FLAIR MR.
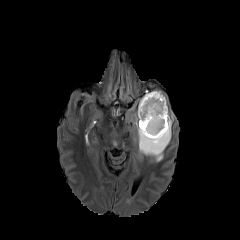
T1-weighted MR.
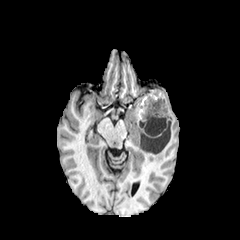
Post-contrast T1-weighted MRI.
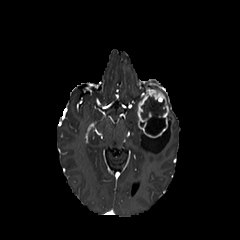
T2-weighted MR.
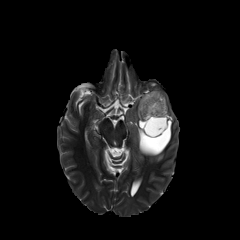
Axial plane | Image size 240x240 | Brain
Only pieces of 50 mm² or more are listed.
{"peritumoral_edema": [{"x1": 125, "y1": 98, "x2": 173, "y2": 161}], "enhancing_tumor": [{"x1": 137, "y1": 89, "x2": 169, "y2": 138}], "necrotic_tumor_core": [{"x1": 141, "y1": 96, "x2": 166, "y2": 135}]}